FLAIR MR.
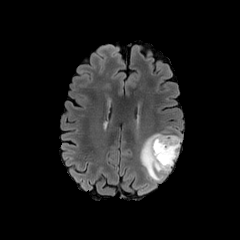
T1-weighted MR.
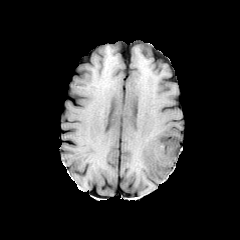
Post-contrast T1-weighted MR image.
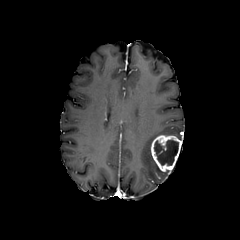
T2-weighted magnetic resonance.
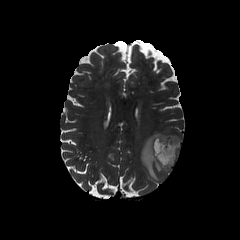
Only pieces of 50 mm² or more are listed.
• enhancing tumor: box=[151, 135, 181, 172]
• peritumoral edema: box=[140, 133, 168, 181]
• necrotic tumor core: box=[154, 140, 178, 165]